Axial slice; Brain; Image size 240x240
FLAIR MR image.
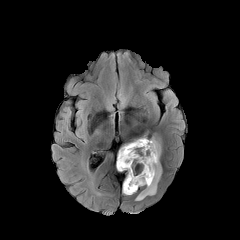
T1-weighted magnetic resonance.
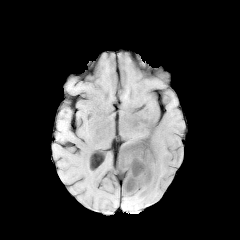
Post-contrast T1-weighted MR.
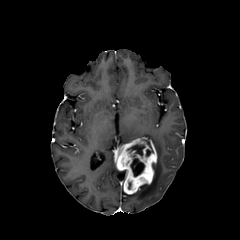
T2-weighted MR image.
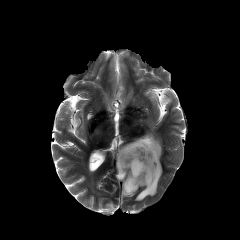
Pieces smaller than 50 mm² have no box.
The largest peritumoral edema region appears at <bbox>135, 136, 161, 200</bbox>. The enhancing tumor is bounded by <bbox>116, 137, 157, 194</bbox>. The 3 largest necrotic tumor core regions are located at <bbox>127, 144, 144, 156</bbox>, <bbox>144, 140, 153, 156</bbox>, <bbox>130, 158, 144, 176</bbox>.